Image width 240 mm, 1.00 mm slice spacing, Brain, Axial slice
FLAIR magnetic resonance.
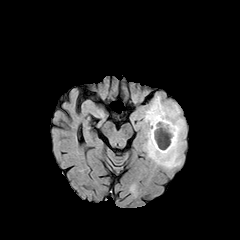
T1-weighted MR.
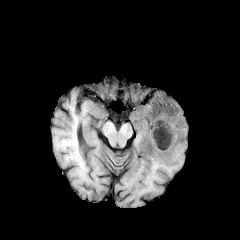
Post-contrast T1-weighted magnetic resonance.
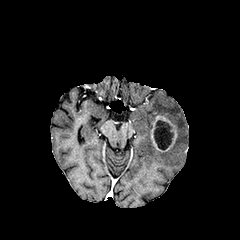
T2-weighted magnetic resonance.
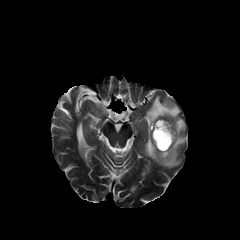
Segmented structures:
- necrotic tumor core: bbox(154, 120, 173, 149)
- enhancing tumor: bbox(151, 115, 177, 151)
- peritumoral edema: bbox(141, 95, 185, 168)